Axial plane
FLAIR MR image.
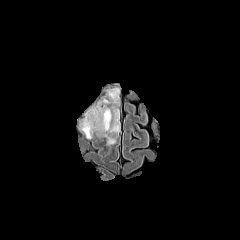
T1-weighted MRI.
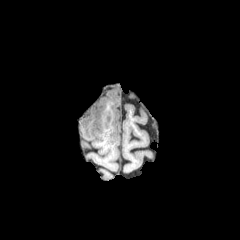
Post-contrast T1-weighted MRI.
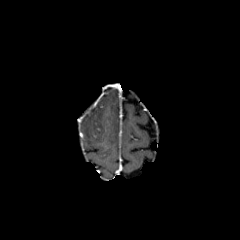
T2-weighted MRI.
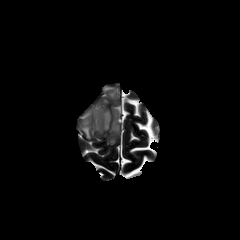
peritumoral_edema:
  - 79, 89, 119, 144